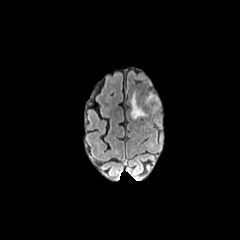
FLAIR MR image.
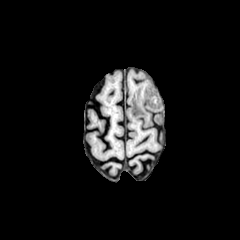
T1-weighted MR.
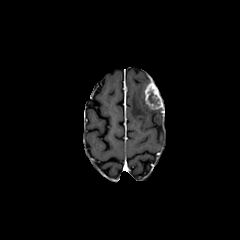
Post-contrast T1-weighted MRI.
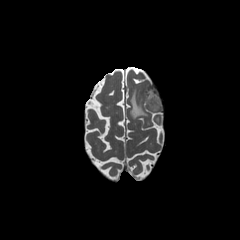
T2-weighted MR of the same slice.
Axial view | 240x240 px | Brain
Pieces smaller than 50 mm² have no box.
The enhancing tumor is bounded by l=144, t=81, r=162, b=109. The largest peritumoral edema region appears at l=130, t=90, r=147, b=119. The largest necrotic tumor core region is bounded by l=148, t=91, r=157, b=103.